Brain, Slice index 77, 240x240 px, Image width 240 mm, 1.00 mm slice spacing
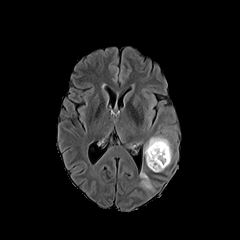
FLAIR MR image.
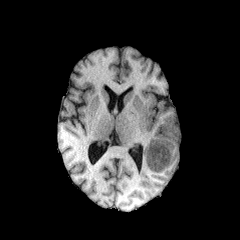
Same slice, T1-weighted MR.
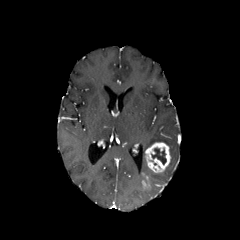
Same slice, post-contrast T1-weighted MR image.
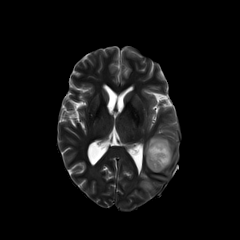
T2-weighted MR of the same slice.
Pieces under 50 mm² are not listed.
peritumoral edema: bounding box (left=144, top=136, right=172, bottom=161)
necrotic tumor core: bounding box (left=151, top=148, right=166, bottom=164)
enhancing tumor: bounding box (left=145, top=142, right=170, bottom=172), (left=142, top=176, right=150, bottom=188)